FLAIR MRI.
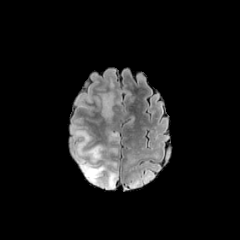
T1-weighted MR.
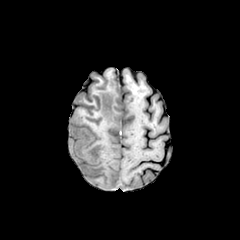
Post-contrast T1-weighted MR.
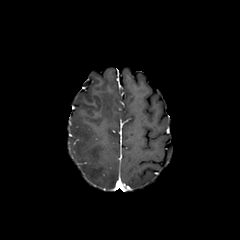
T2-weighted MRI.
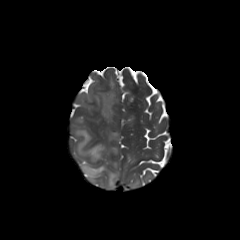
Head | Axial plane
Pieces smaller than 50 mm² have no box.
{"peritumoral_edema": ["[129,179,141,187]", "[109,133,118,139]", "[102,93,113,118]", "[71,124,118,188]"]}